FLAIR magnetic resonance.
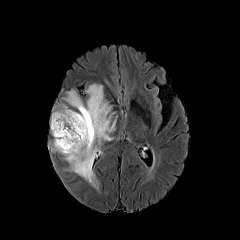
T1-weighted MR.
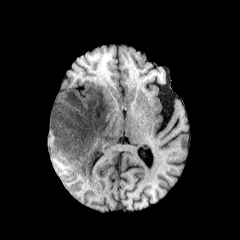
Post-contrast T1-weighted MR image.
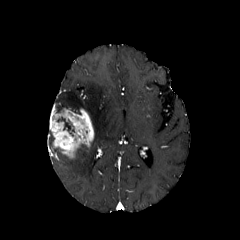
T2-weighted MR.
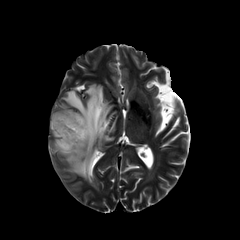
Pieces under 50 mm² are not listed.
enhancing tumor = x1=50 y1=105 x2=94 y2=159
necrotic tumor core = x1=57 y1=117 x2=71 y2=130
peritumoral edema = x1=61 y1=84 x2=116 y2=188